FLAIR magnetic resonance.
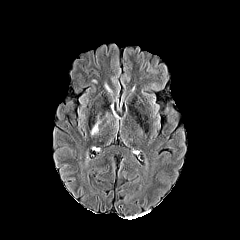
T1-weighted magnetic resonance.
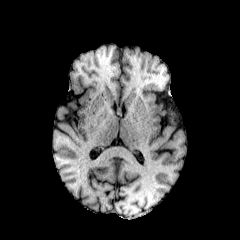
Post-contrast T1-weighted magnetic resonance.
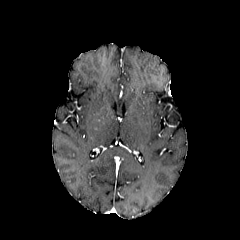
T2-weighted MRI.
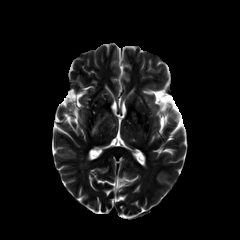
Image size 240x240 | Brain | Axial plane
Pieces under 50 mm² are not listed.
peritumoral edema: (x1=91, y1=121, x2=100, y2=135)